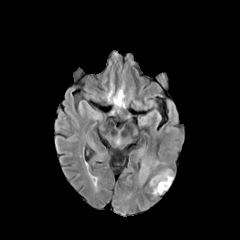
FLAIR magnetic resonance.
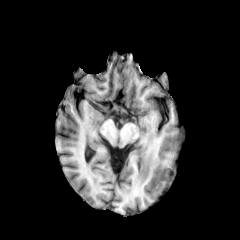
T1-weighted MR image.
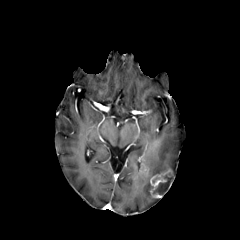
Post-contrast T1-weighted MR image.
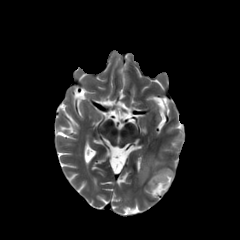
T2-weighted MR of the same slice.
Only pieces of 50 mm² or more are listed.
peritumoral edema: {"x1": 141, "y1": 154, "x2": 165, "y2": 174}, {"x1": 138, "y1": 169, "x2": 147, "y2": 183} | enhancing tumor: {"x1": 142, "y1": 167, "x2": 148, "y2": 176}, {"x1": 149, "y1": 168, "x2": 173, "y2": 197} | necrotic tumor core: {"x1": 153, "y1": 175, "x2": 173, "y2": 194}